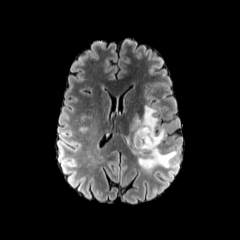
FLAIR MRI.
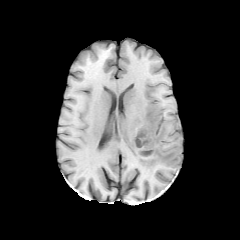
T1-weighted MRI.
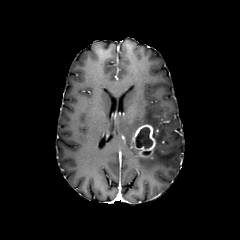
Same slice, post-contrast T1-weighted MRI.
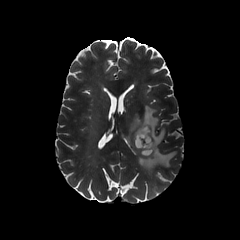
Same slice, T2-weighted MR image.
Head; Axial plane
enhancing tumor: bounding box rect(133, 124, 156, 157)
peritumoral edema: bounding box rect(120, 105, 177, 174)
necrotic tumor core: bounding box rect(135, 127, 152, 155)